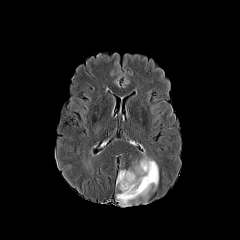
FLAIR MRI.
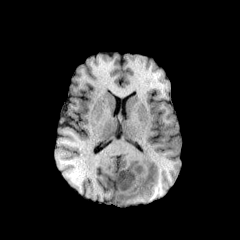
Same slice, T1-weighted MRI.
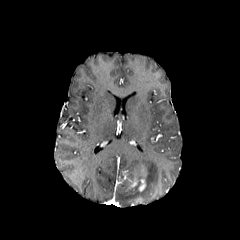
Same slice, post-contrast T1-weighted MR.
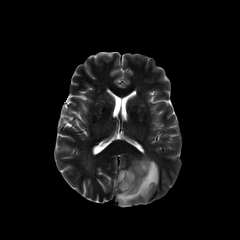
T2-weighted MR image.
Axial view, 240x240
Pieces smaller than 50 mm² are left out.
The largest peritumoral edema region is at (116, 155, 158, 206). The largest enhancing tumor region is at (117, 165, 146, 191).